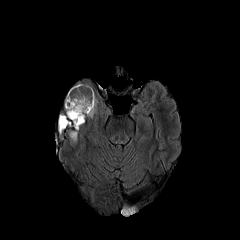
FLAIR MR.
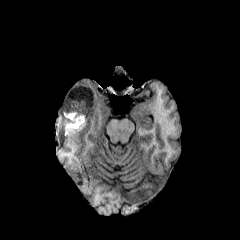
Same slice, T1-weighted MR image.
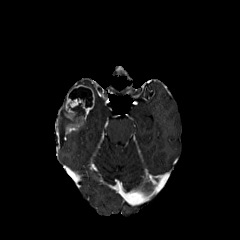
Post-contrast T1-weighted MR of the same slice.
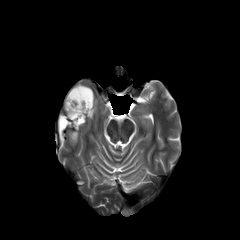
T2-weighted MR.
Axial view, Head
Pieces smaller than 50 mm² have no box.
enhancing tumor — 65, 84, 94, 120; 67, 122, 83, 132
necrotic tumor core — 63, 103, 85, 124; 68, 87, 92, 107
peritumoral edema — 88, 98, 97, 118; 69, 131, 77, 143; 59, 114, 70, 133